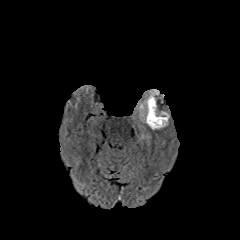
FLAIR magnetic resonance.
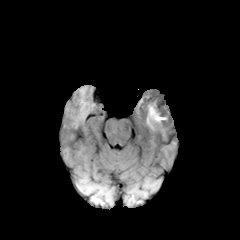
T1-weighted MRI of the same slice.
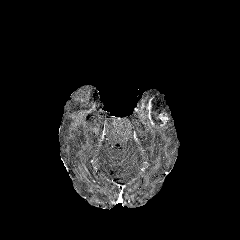
Post-contrast T1-weighted magnetic resonance.
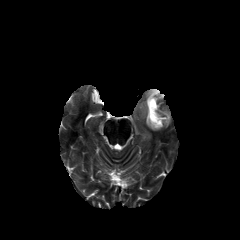
T2-weighted magnetic resonance of the same slice.
240x240 px. Axial slice.
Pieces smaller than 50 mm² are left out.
<segmentation>
  <necrotic_tumor_core>x1=151 y1=95 x2=165 y2=126</necrotic_tumor_core>
  <peritumoral_edema>x1=164 y1=100 x2=170 y2=119, x1=136 y1=89 x2=168 y2=129</peritumoral_edema>
  <enhancing_tumor>x1=139 y1=97 x2=154 y2=126, x1=156 y1=112 x2=168 y2=127</enhancing_tumor>
</segmentation>